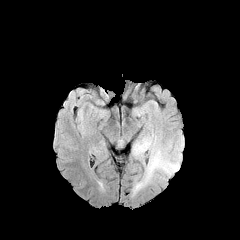
FLAIR MR.
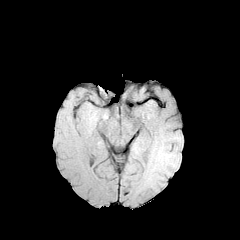
Same slice, T1-weighted MR image.
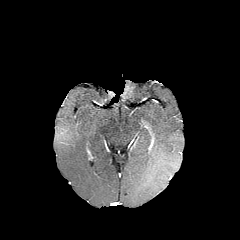
Post-contrast T1-weighted MR image of the same slice.
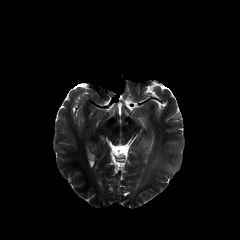
T2-weighted magnetic resonance.
Brain
<segmentation>
  <peritumoral_edema>[x1=133, y1=91, x2=182, y2=192]</peritumoral_edema>
</segmentation>